FLAIR MR.
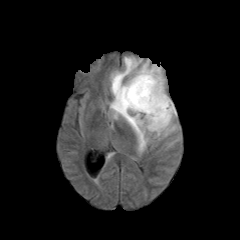
T1-weighted magnetic resonance.
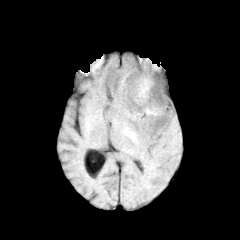
Post-contrast T1-weighted magnetic resonance.
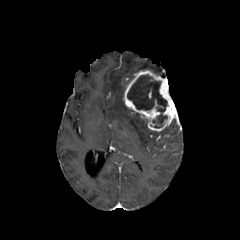
T2-weighted MRI.
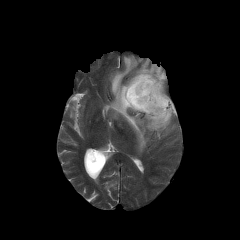
240x240 | Brain
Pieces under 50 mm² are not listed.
The largest necrotic tumor core region is at 127,75,167,123. 3 peritumoral edema regions are bounded by 156,123,176,135; 110,57,155,152; 140,59,162,74. The largest enhancing tumor region appears at 123,69,177,131.